FLAIR magnetic resonance.
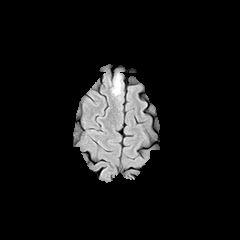
T1-weighted MR.
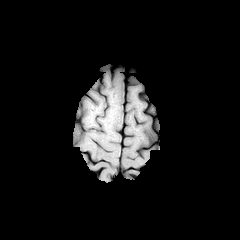
Post-contrast T1-weighted magnetic resonance.
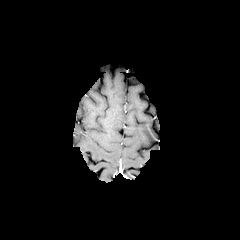
T2-weighted MRI.
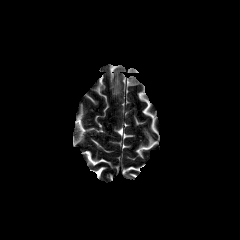
Brain, 240x240 px
<segmentation>
  <peritumoral_edema>112, 74, 121, 94</peritumoral_edema>
</segmentation>